FLAIR MR.
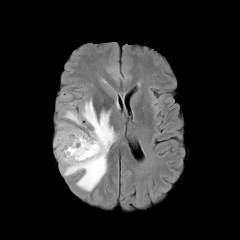
T1-weighted MR image.
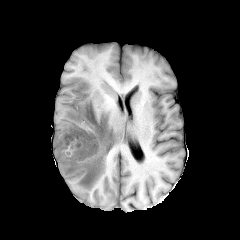
Post-contrast T1-weighted magnetic resonance.
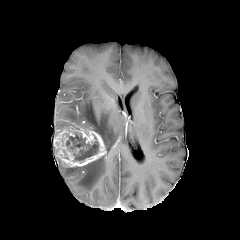
T2-weighted magnetic resonance.
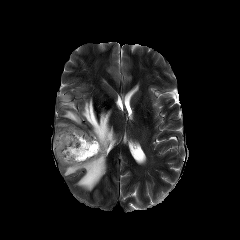
Head
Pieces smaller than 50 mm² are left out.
Annotated regions:
- peritumoral edema: <box>63,99,117,149</box>, <box>59,155,107,191</box>, <box>58,123,75,129</box>
- enhancing tumor: <box>53,126,105,167</box>
- necrotic tumor core: <box>66,137,97,162</box>